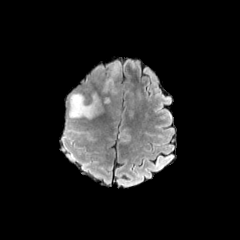
FLAIR MRI.
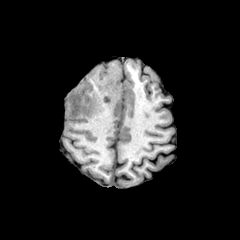
Same slice, T1-weighted MR image.
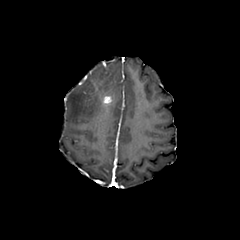
Post-contrast T1-weighted magnetic resonance.
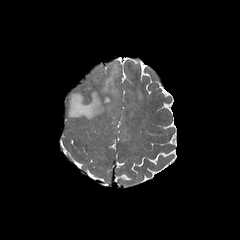
T2-weighted MR image of the same slice.
240x240. Axial view.
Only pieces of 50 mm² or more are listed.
The largest peritumoral edema region is bounded by box=[68, 62, 120, 119]. The enhancing tumor lies within box=[103, 96, 111, 103].